FLAIR MRI.
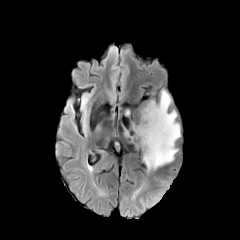
T1-weighted MR.
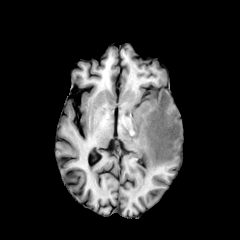
Post-contrast T1-weighted MRI.
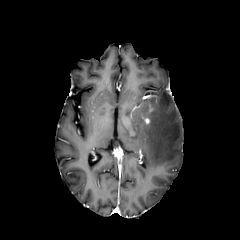
T2-weighted magnetic resonance.
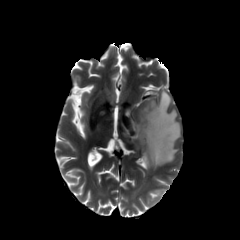
Brain | Axial slice
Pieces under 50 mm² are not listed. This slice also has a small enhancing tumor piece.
peritumoral edema: 131, 90, 180, 170